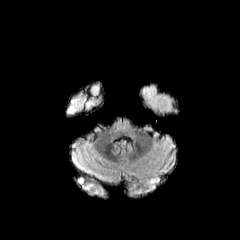
FLAIR MR.
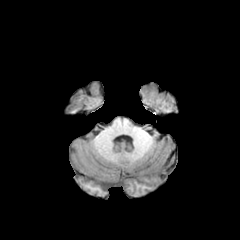
T1-weighted magnetic resonance of the same slice.
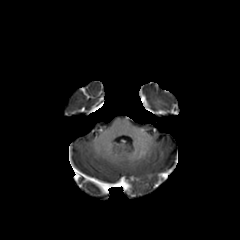
Post-contrast T1-weighted magnetic resonance of the same slice.
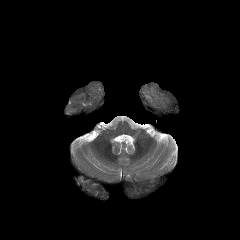
T2-weighted MRI.
Brain
The peritumoral edema is located at box(149, 177, 158, 186).